FLAIR MR image.
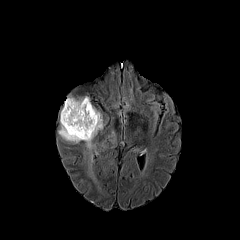
T1-weighted MR image.
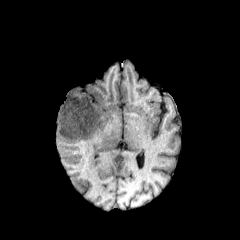
Post-contrast T1-weighted magnetic resonance.
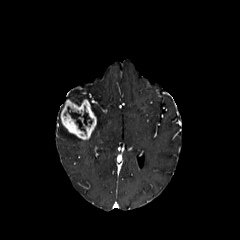
T2-weighted MRI.
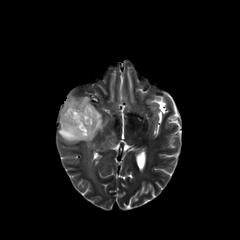
Head
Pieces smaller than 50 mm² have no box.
necrotic tumor core — x1=67, y1=106, x2=92, y2=133
enhancing tumor — x1=60, y1=99, x2=96, y2=139
peritumoral edema — x1=58, y1=104, x2=105, y2=182; x1=67, y1=96, x2=89, y2=103